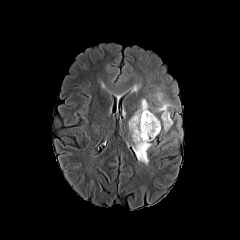
FLAIR MR.
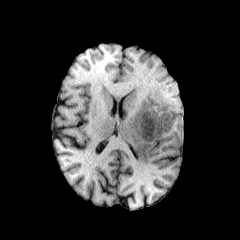
Same slice, T1-weighted magnetic resonance.
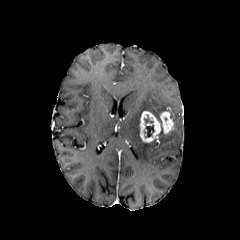
Post-contrast T1-weighted MRI.
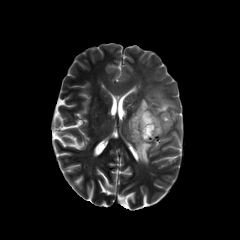
T2-weighted magnetic resonance.
Axial slice; Brain
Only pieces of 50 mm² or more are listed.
Annotated regions:
• enhancing tumor: (left=139, top=111, right=173, bottom=142)
• peritumoral edema: (left=128, top=91, right=174, bottom=164)
• necrotic tumor core: (left=145, top=125, right=154, bottom=137)